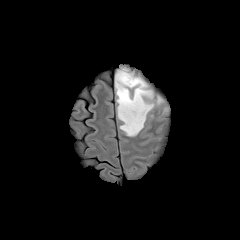
FLAIR MRI.
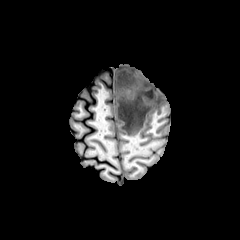
T1-weighted MR image of the same slice.
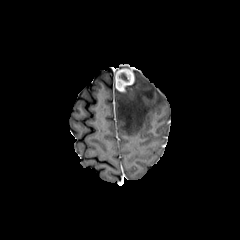
Post-contrast T1-weighted MR of the same slice.
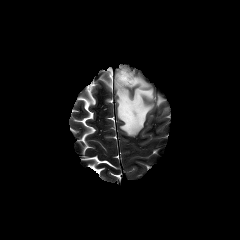
T2-weighted MRI of the same slice.
Head. Axial view.
enhancing tumor — 115:68:134:91
necrotic tumor core — 119:73:128:81
peritumoral edema — 160:106:170:115, 116:76:163:136